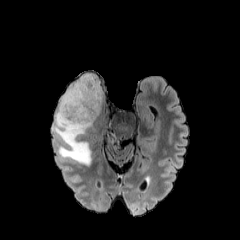
FLAIR MRI.
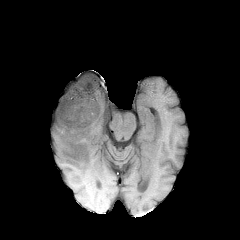
T1-weighted MR image.
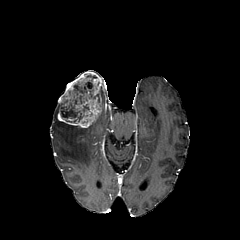
Same slice, post-contrast T1-weighted MR image.
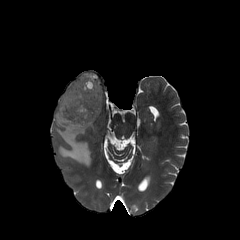
Same slice, T2-weighted MR image.
Brain, Image size 240x240
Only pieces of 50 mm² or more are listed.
Segmented structures:
• peritumoral edema: 53,103,92,165
• necrotic tumor core: 61,75,98,120
• enhancing tumor: 57,72,102,128